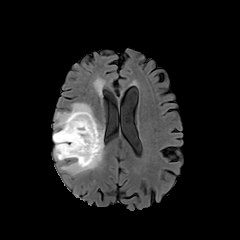
FLAIR MR.
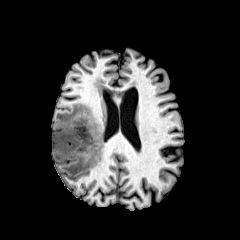
T1-weighted MRI.
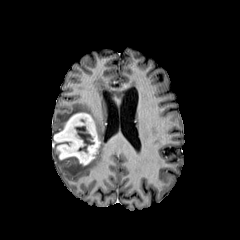
Post-contrast T1-weighted MR of the same slice.
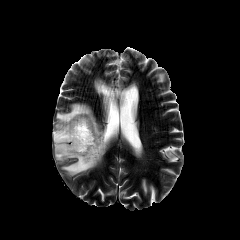
T2-weighted MRI.
Axial slice
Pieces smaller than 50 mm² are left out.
Findings:
* peritumoral edema: [x1=54, y1=142, x2=68, y2=162], [x1=53, y1=103, x2=104, y2=175]
* necrotic tumor core: [x1=75, y1=126, x2=94, y2=152]
* enhancing tumor: [x1=53, y1=113, x2=100, y2=165]